Image size 240x240, Brain, Axial plane
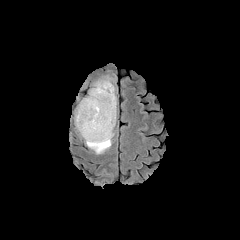
FLAIR MR.
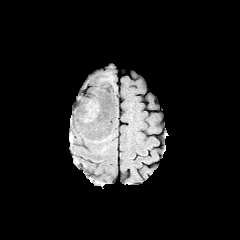
T1-weighted magnetic resonance of the same slice.
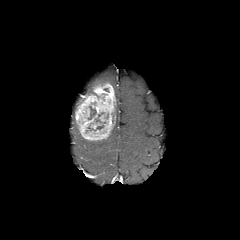
Same slice, post-contrast T1-weighted MRI.
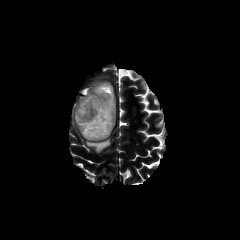
T2-weighted MR of the same slice.
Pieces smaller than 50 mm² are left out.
The largest necrotic tumor core region is located at <box>88,106,96,119</box>. The enhancing tumor lies within <box>75,82,115,140</box>. The 2 largest peritumoral edema regions are located at <box>93,79,111,86</box>, <box>85,91,116,153</box>.